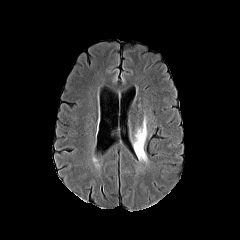
FLAIR magnetic resonance.
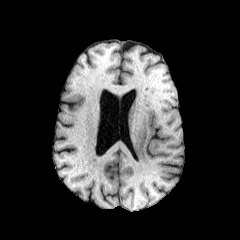
T1-weighted MRI of the same slice.
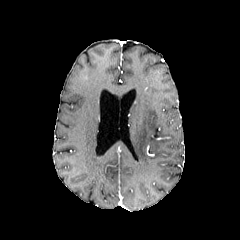
Post-contrast T1-weighted MRI.
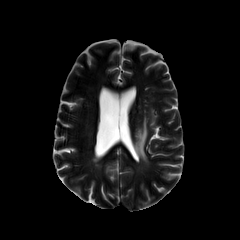
Same slice, T2-weighted MRI.
Brain. Image size 240x240.
peritumoral edema = box(133, 116, 147, 162)